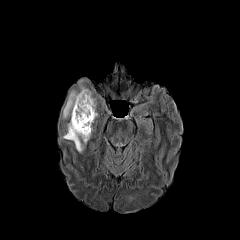
FLAIR MR image.
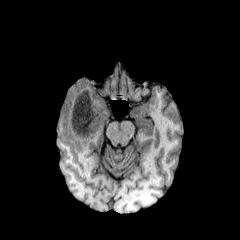
Same slice, T1-weighted MRI.
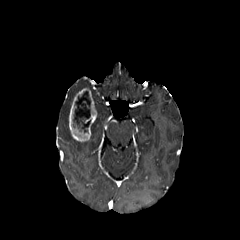
Same slice, post-contrast T1-weighted MR image.
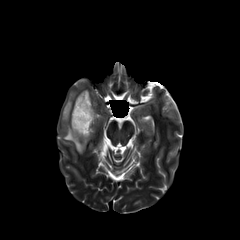
T2-weighted MR image.
Axial view.
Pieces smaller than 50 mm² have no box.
enhancing tumor: {"x1": 69, "y1": 88, "x2": 97, "y2": 141} | necrotic tumor core: {"x1": 73, "y1": 91, "x2": 91, "y2": 132} | peritumoral edema: {"x1": 62, "y1": 89, "x2": 78, "y2": 120}, {"x1": 63, "y1": 123, "x2": 87, "y2": 153}